FLAIR MR image.
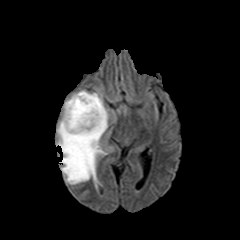
T1-weighted MR.
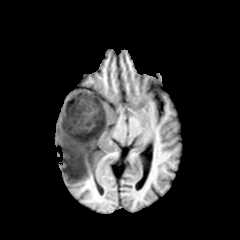
Post-contrast T1-weighted MR.
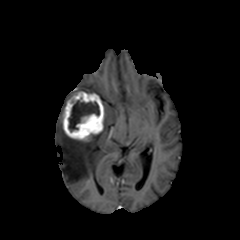
T2-weighted magnetic resonance.
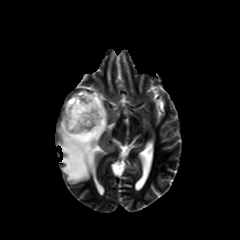
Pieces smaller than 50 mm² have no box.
The enhancing tumor is at rect(62, 91, 104, 141). The largest peritumoral edema region is bounded by rect(56, 108, 108, 184). The necrotic tumor core lies within rect(69, 100, 99, 131).